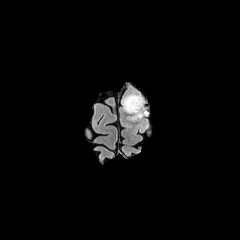
FLAIR MR image.
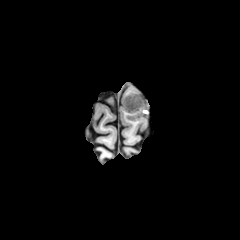
T1-weighted MR.
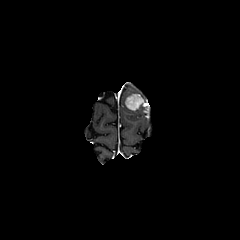
Same slice, post-contrast T1-weighted magnetic resonance.
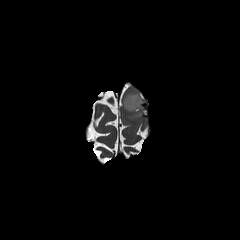
T2-weighted magnetic resonance.
240x240 px; Brain
<segmentation>
  <enhancing_tumor>125 94 144 111</enhancing_tumor>
  <peritumoral_edema>122 88 144 120</peritumoral_edema>
</segmentation>